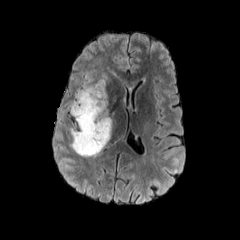
FLAIR MRI.
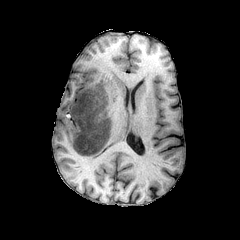
T1-weighted magnetic resonance.
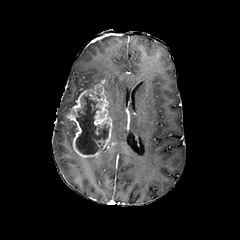
Post-contrast T1-weighted MRI.
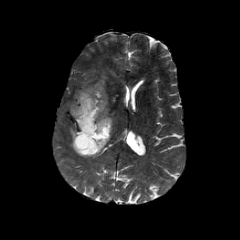
T2-weighted MRI of the same slice.
Brain.
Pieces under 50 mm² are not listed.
necrotic tumor core at 76, 95, 109, 155
peritumoral edema at 64, 74, 107, 114
enhancing tumor at 70, 79, 112, 157